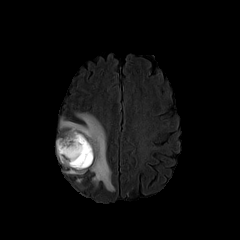
FLAIR magnetic resonance.
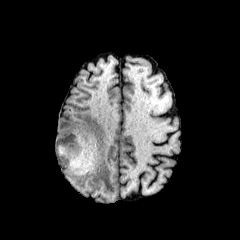
T1-weighted MR image of the same slice.
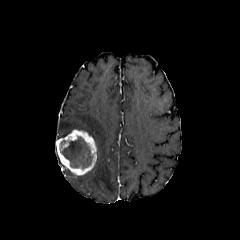
Same slice, post-contrast T1-weighted magnetic resonance.
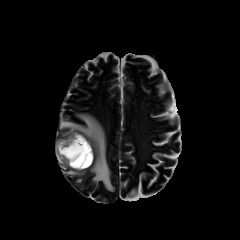
Same slice, T2-weighted MR.
Axial plane. 240x240.
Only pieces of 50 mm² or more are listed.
The enhancing tumor appears at x1=55 y1=129 x2=97 y2=175. The largest peritumoral edema region lies within x1=59 y1=113 x2=114 y2=191. The necrotic tumor core is located at x1=61 y1=137 x2=92 y2=168.